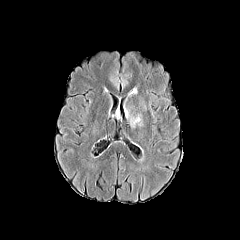
FLAIR MRI.
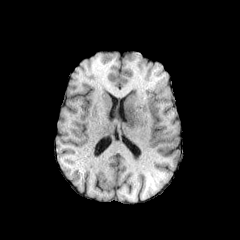
Same slice, T1-weighted MRI.
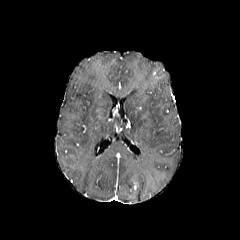
Post-contrast T1-weighted magnetic resonance.
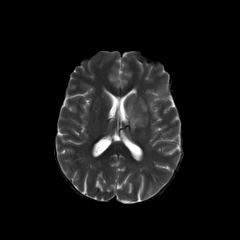
T2-weighted MRI of the same slice.
Brain
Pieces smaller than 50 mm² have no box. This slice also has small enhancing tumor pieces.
The largest peritumoral edema region appears at (left=130, top=108, right=140, bottom=126).